240x240 px; Slice 91/155; Axial plane; Image covers 240 mm x 240 mm; Head
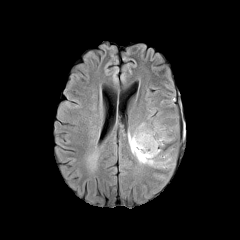
FLAIR MR image.
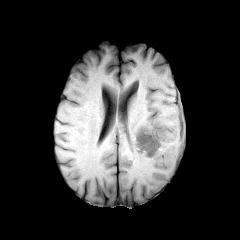
T1-weighted MR image.
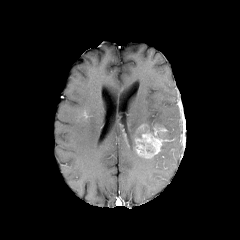
Post-contrast T1-weighted MR.
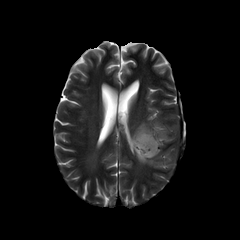
Same slice, T2-weighted magnetic resonance.
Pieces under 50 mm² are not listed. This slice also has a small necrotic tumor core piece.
The enhancing tumor lies within <bbox>135, 126, 166, 158</bbox>. The largest peritumoral edema region is bounded by <bbox>127, 122, 171, 168</bbox>.